FLAIR magnetic resonance.
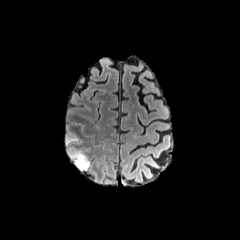
T1-weighted MR image.
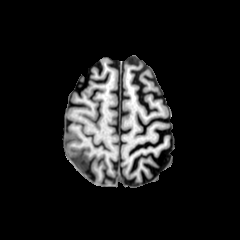
Post-contrast T1-weighted magnetic resonance.
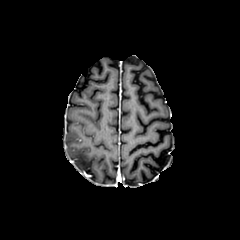
T2-weighted MRI.
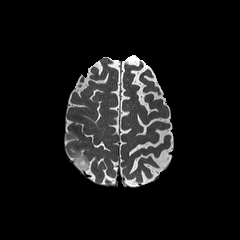
240x240 px, Axial view
peritumoral edema: bounding box l=66, t=124, r=91, b=170